Brain. Slice 137 of 155. Axial slice. Image covers 240 mm x 240 mm.
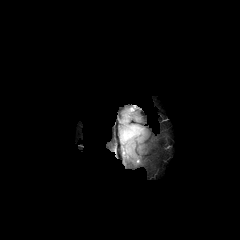
FLAIR MR.
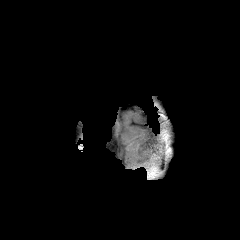
T1-weighted MR image.
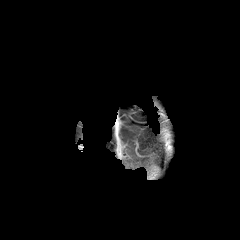
Post-contrast T1-weighted MR of the same slice.
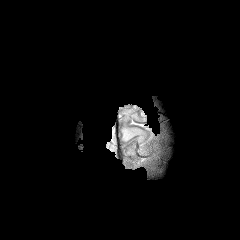
Same slice, T2-weighted MR.
{
  "peritumoral_edema": [
    "123:129:136:139"
  ]
}